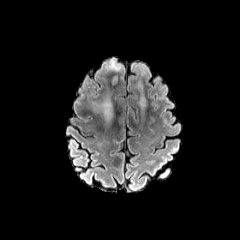
FLAIR magnetic resonance.
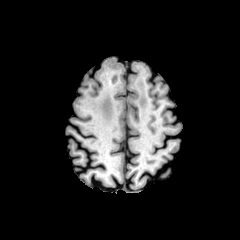
T1-weighted MR of the same slice.
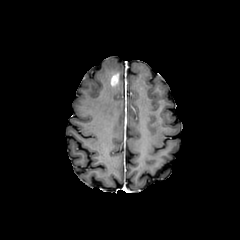
Same slice, post-contrast T1-weighted MR image.
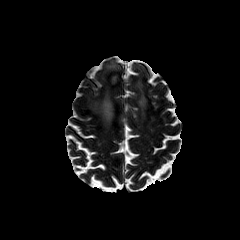
T2-weighted magnetic resonance.
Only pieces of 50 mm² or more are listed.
The enhancing tumor is located at box=[111, 74, 118, 85]. The 3 largest peritumoral edema regions appear at box=[105, 58, 122, 71]; box=[139, 95, 145, 107]; box=[94, 97, 112, 121].